Axial slice, Head, Slice 100/155
FLAIR MRI.
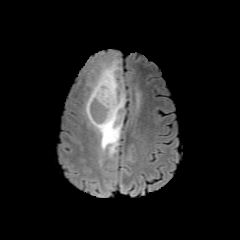
T1-weighted MRI.
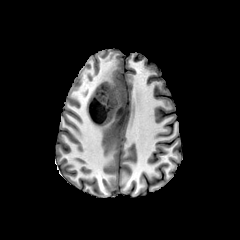
Post-contrast T1-weighted MR.
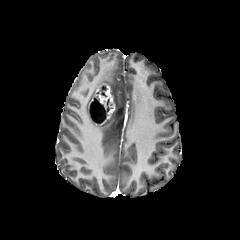
T2-weighted MR image.
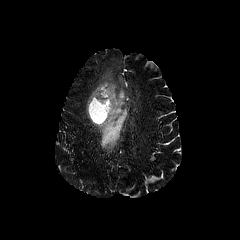
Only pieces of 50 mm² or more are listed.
necrotic tumor core: {"x1": 90, "y1": 98, "x2": 106, "y2": 124} | enhancing tumor: {"x1": 89, "y1": 83, "x2": 115, "y2": 126} | peritumoral edema: {"x1": 85, "y1": 60, "x2": 125, "y2": 155}